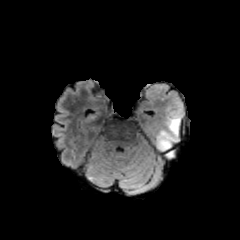
FLAIR MRI.
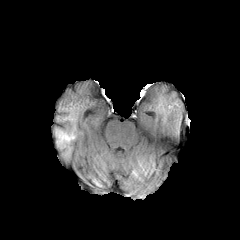
T1-weighted magnetic resonance.
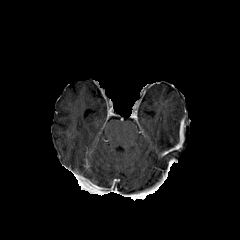
Post-contrast T1-weighted MRI of the same slice.
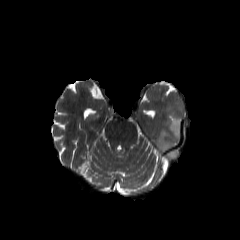
T2-weighted MR image.
240x240, Axial plane
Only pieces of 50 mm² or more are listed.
<segmentation>
  <peritumoral_edema>x1=157, y1=113, x2=180, y2=150</peritumoral_edema>
</segmentation>